FLAIR MR.
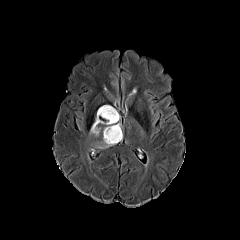
T1-weighted MRI.
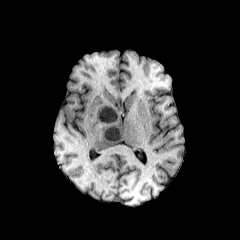
Post-contrast T1-weighted MR.
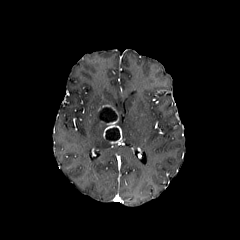
T2-weighted MR image.
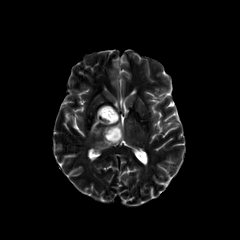
240x240 | Axial slice | Brain
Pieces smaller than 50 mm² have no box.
peritumoral_edema:
  - left=95, top=138, right=111, bottom=148
  - left=90, top=111, right=104, bottom=136
enhancing_tumor:
  - left=98, top=105, right=122, bottom=144
necrotic_tumor_core:
  - left=105, top=127, right=120, bottom=141
  - left=99, top=107, right=117, bottom=122